FLAIR magnetic resonance.
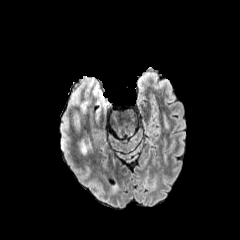
T1-weighted MR image.
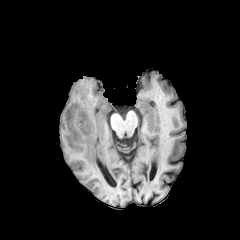
Post-contrast T1-weighted MR.
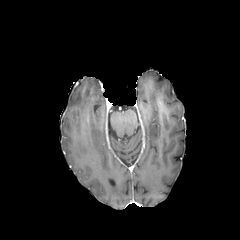
T2-weighted MR image.
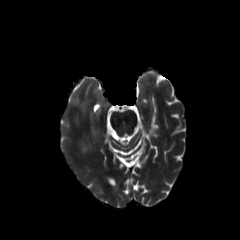
Brain | Image size 240x240
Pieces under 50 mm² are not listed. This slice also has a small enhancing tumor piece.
<segmentation>
  <peritumoral_edema>bbox=[73, 87, 108, 158]</peritumoral_edema>
</segmentation>